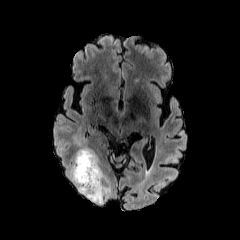
FLAIR magnetic resonance.
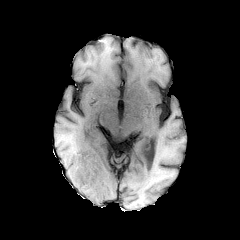
T1-weighted MR.
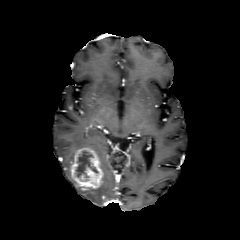
Post-contrast T1-weighted MR image.
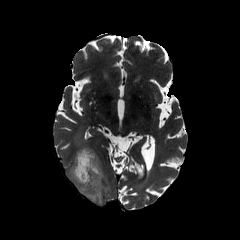
T2-weighted MR.
Axial view
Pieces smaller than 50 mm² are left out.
<segmentation>
  <peritumoral_edema>[68, 167, 109, 204]</peritumoral_edema>
  <enhancing_tumor>[71, 148, 103, 190]</enhancing_tumor>
  <necrotic_tumor_core>[75, 151, 97, 177]</necrotic_tumor_core>
</segmentation>